Axial view, Slice index 94
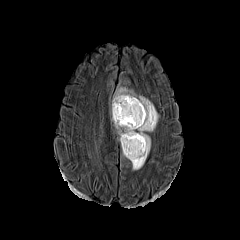
FLAIR MR image.
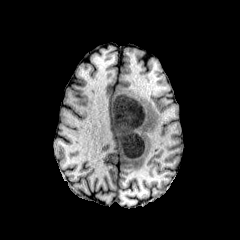
T1-weighted MR image.
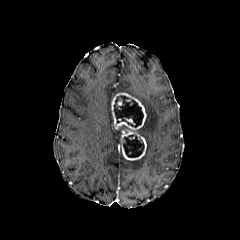
Same slice, post-contrast T1-weighted MR.
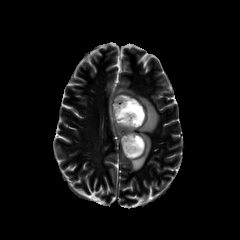
T2-weighted MR.
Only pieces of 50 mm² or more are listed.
* necrotic tumor core: [x1=123, y1=134, x2=144, y2=157], [x1=114, y1=95, x2=143, y2=127]
* peritumoral edema: [x1=115, y1=87, x2=159, y2=170], [x1=117, y1=125, x2=127, y2=138]
* enhancing tumor: [x1=111, y1=93, x2=146, y2=160]